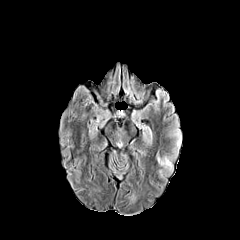
FLAIR MR image.
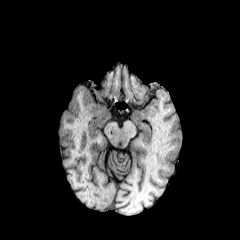
T1-weighted magnetic resonance.
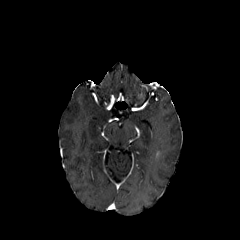
Same slice, post-contrast T1-weighted MRI.
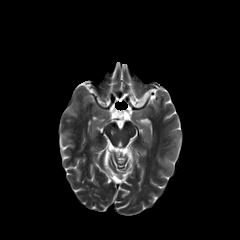
T2-weighted MR image.
Axial slice | 240x240 px
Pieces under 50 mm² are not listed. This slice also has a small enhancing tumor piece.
peritumoral edema: bounding box (x1=173, y1=129, x2=180, y2=145), (x1=158, y1=157, x2=172, y2=171)